Axial slice; Brain; Image width 240 mm, 1.00 mm slice spacing; Slice 107 of 155
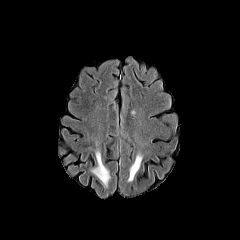
FLAIR MR.
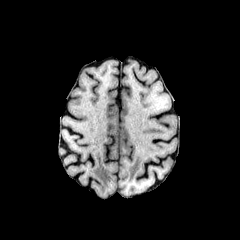
T1-weighted MRI of the same slice.
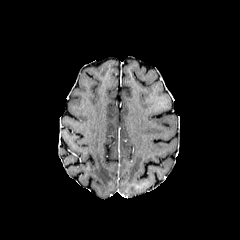
Post-contrast T1-weighted MRI of the same slice.
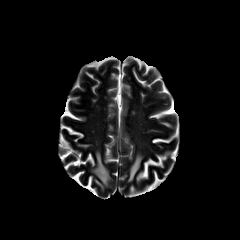
T2-weighted MRI.
peritumoral edema — [x1=128, y1=154, x2=142, y2=181], [x1=91, y1=151, x2=110, y2=186]